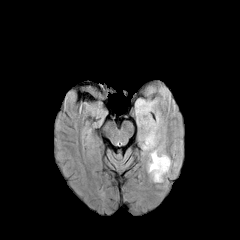
FLAIR magnetic resonance.
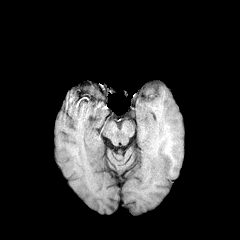
Same slice, T1-weighted MR.
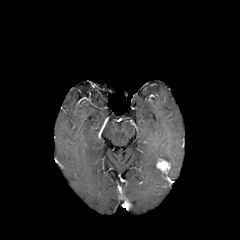
Post-contrast T1-weighted MR of the same slice.
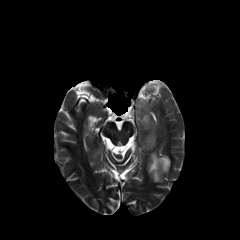
T2-weighted MR.
Axial slice, Head
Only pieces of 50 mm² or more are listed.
<segmentation>
  <enhancing_tumor><bbox>156, 158, 170, 173</bbox></enhancing_tumor>
  <peritumoral_edema><bbox>156, 89, 169, 94</bbox>, <bbox>135, 99, 162, 150</bbox>, <bbox>148, 146, 170, 182</bbox></peritumoral_edema>
</segmentation>